Head, Axial view
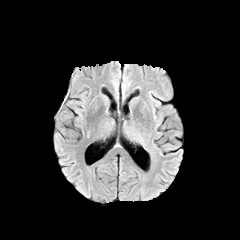
FLAIR MRI.
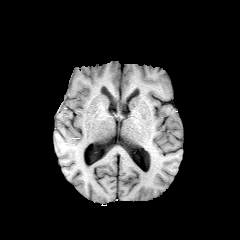
T1-weighted MR.
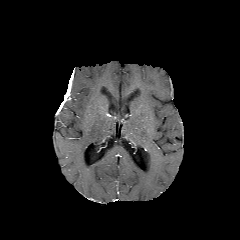
Same slice, post-contrast T1-weighted magnetic resonance.
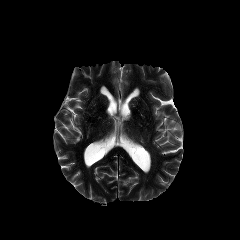
T2-weighted MR.
<segmentation>
  <enhancing_tumor><bbox>56, 70, 73, 113</bbox></enhancing_tumor>
</segmentation>